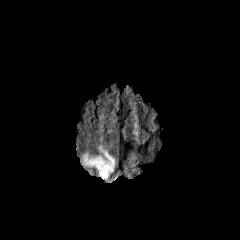
FLAIR MR.
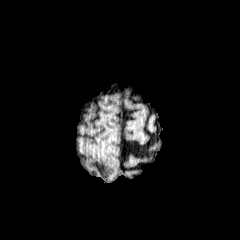
T1-weighted MRI.
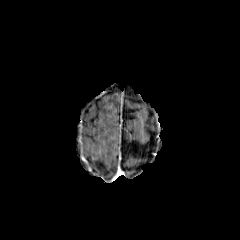
Post-contrast T1-weighted MR.
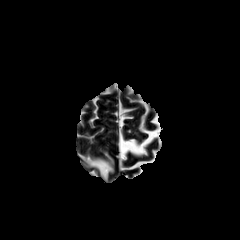
T2-weighted MR image.
Axial plane | Brain
peritumoral edema: <box>85,148,114,178</box>